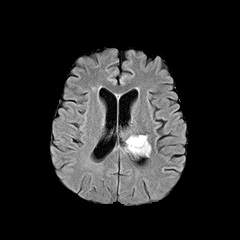
FLAIR magnetic resonance.
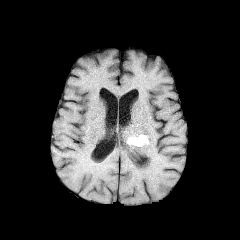
T1-weighted MRI.
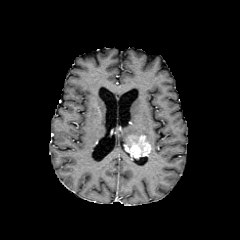
Same slice, post-contrast T1-weighted MR.
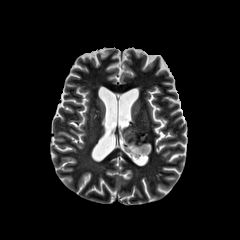
T2-weighted MR image.
Axial plane; Brain
enhancing_tumor:
  - 126 142 151 157